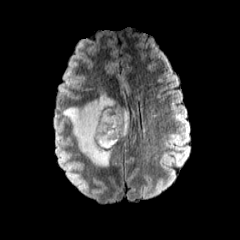
FLAIR MR.
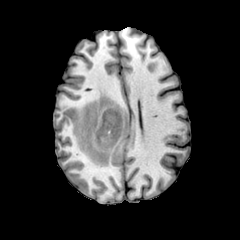
T1-weighted magnetic resonance.
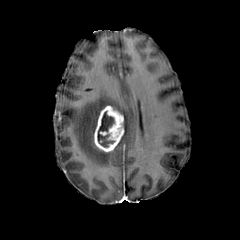
Same slice, post-contrast T1-weighted MR image.
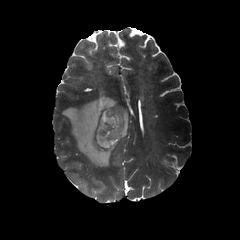
T2-weighted MR image of the same slice.
Axial plane; 240x240
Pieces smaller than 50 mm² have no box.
Segmented structures:
* necrotic tumor core: [97, 110, 114, 147]
* enhancing tumor: [93, 105, 124, 152]
* peritumoral edema: [63, 85, 134, 167]